FLAIR MR.
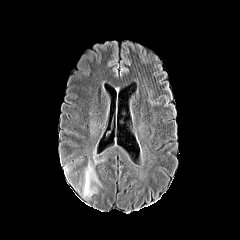
T1-weighted magnetic resonance.
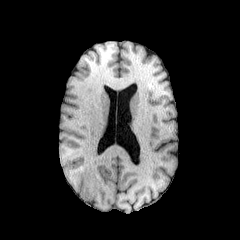
Post-contrast T1-weighted MR.
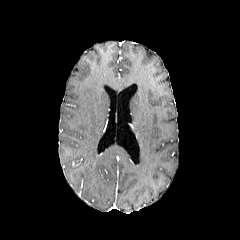
T2-weighted MR.
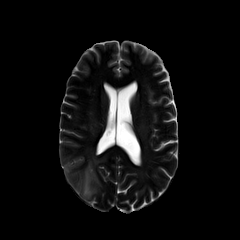
Brain
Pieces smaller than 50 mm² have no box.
The largest peritumoral edema region appears at bbox(82, 162, 99, 198).